Head. 240x240 px. Slice index 118.
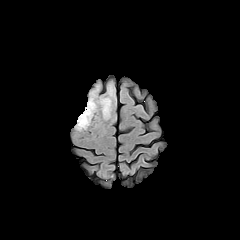
FLAIR MR.
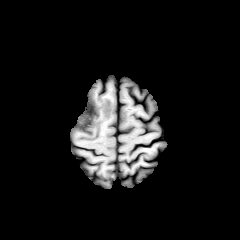
Same slice, T1-weighted MR.
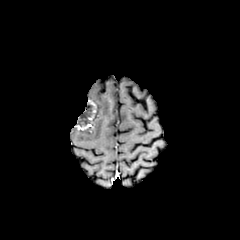
Same slice, post-contrast T1-weighted MR image.
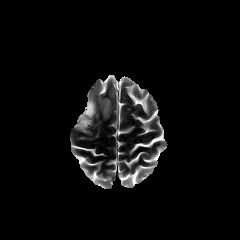
T2-weighted MR image of the same slice.
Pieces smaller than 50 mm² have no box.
necrotic_tumor_core:
  - l=77, t=104, r=92, b=125
peritumoral_edema:
  - l=98, t=97, r=111, b=119
enhancing_tumor:
  - l=75, t=99, r=96, b=130